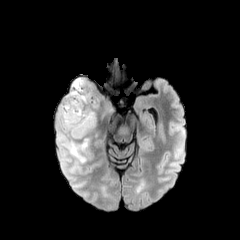
FLAIR MR.
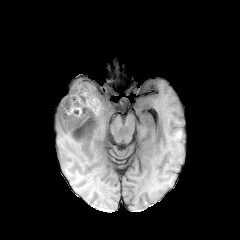
T1-weighted MRI of the same slice.
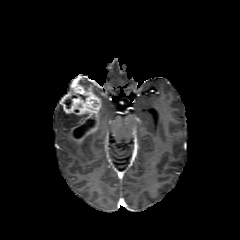
Same slice, post-contrast T1-weighted magnetic resonance.
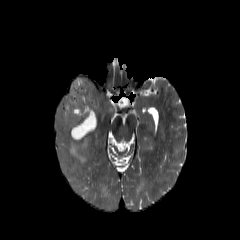
T2-weighted MR.
Brain
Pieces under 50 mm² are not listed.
enhancing tumor: bounding box (61, 78, 101, 142)
necrotic tumor core: bounding box (64, 95, 77, 108), (73, 118, 95, 139)
peritumoral edema: bounding box (60, 136, 88, 163), (58, 106, 80, 137)